Slice 68/155 | Axial slice
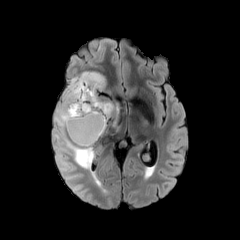
FLAIR MR image.
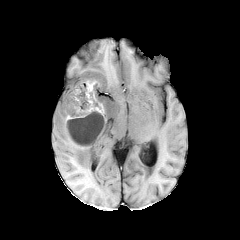
Same slice, T1-weighted MR.
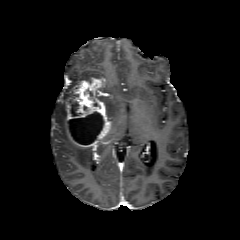
Same slice, post-contrast T1-weighted magnetic resonance.
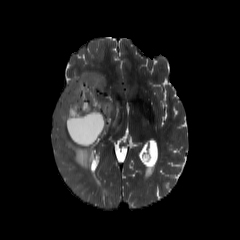
T2-weighted MR.
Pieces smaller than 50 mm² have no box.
Segmented structures:
• peritumoral edema: (103,101,114,118), (54,72,103,169)
• enhancing tumor: (66,77,109,148)
• necrotic tumor core: (70,94,80,116), (68,112,103,144)